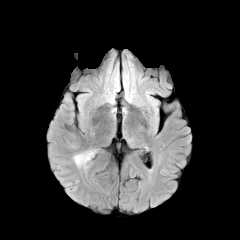
FLAIR magnetic resonance.
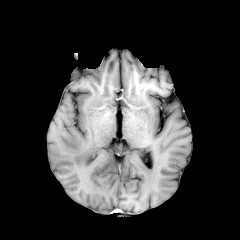
T1-weighted MR of the same slice.
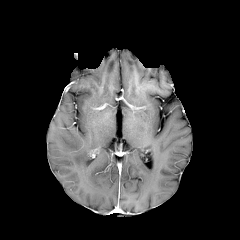
Post-contrast T1-weighted MR.
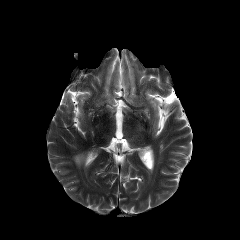
T2-weighted MR of the same slice.
Brain. 240x240 px. Axial slice.
The peritumoral edema is located at x1=73 y1=150 x2=95 y2=166.